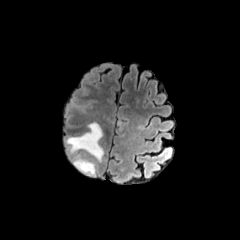
FLAIR MR image.
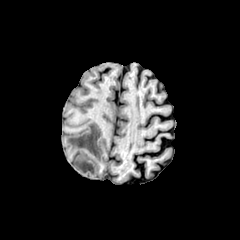
Same slice, T1-weighted MR image.
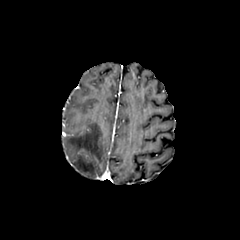
Same slice, post-contrast T1-weighted magnetic resonance.
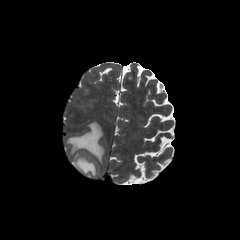
T2-weighted MR.
Axial slice
peritumoral edema = [66,122,103,161], [74,156,95,176]